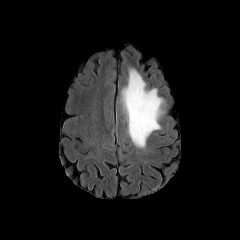
FLAIR MR.
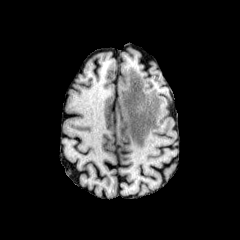
T1-weighted MR of the same slice.
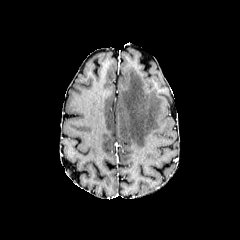
Post-contrast T1-weighted MRI of the same slice.
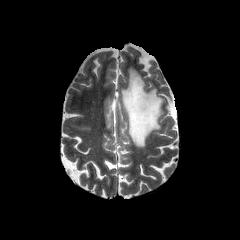
T2-weighted MR image of the same slice.
Axial plane; Brain
Findings:
• peritumoral edema: [x1=121, y1=68, x2=163, y2=147]